Brain, Axial plane, 240x240 px
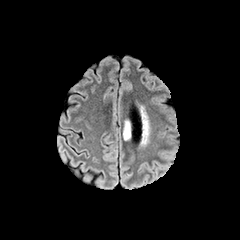
FLAIR MR image.
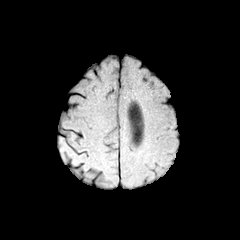
T1-weighted MRI of the same slice.
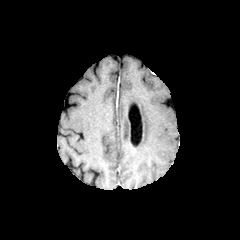
Post-contrast T1-weighted MR.
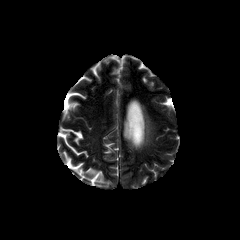
T2-weighted MRI.
{
  "peritumoral_edema": [
    "141 106 150 146",
    "123 120 131 140"
  ]
}